Axial slice, 240x240 px, Head
FLAIR MR.
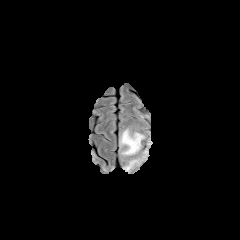
T1-weighted magnetic resonance.
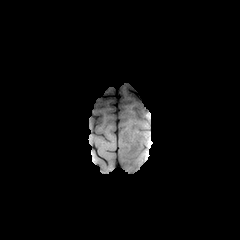
Post-contrast T1-weighted magnetic resonance.
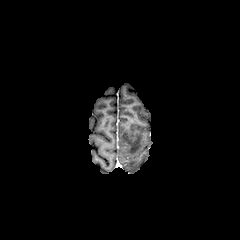
T2-weighted MR image.
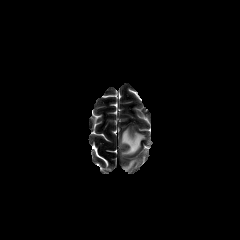
2 peritumoral edema regions are bounded by (x1=120, y1=129, x2=144, y2=155), (x1=123, y1=159, x2=138, y2=171).